FLAIR magnetic resonance.
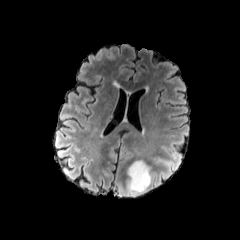
T1-weighted MRI.
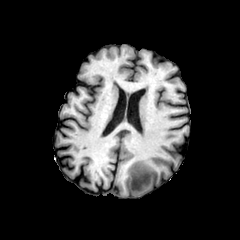
Post-contrast T1-weighted magnetic resonance.
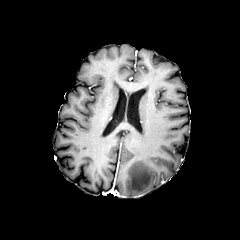
T2-weighted MR.
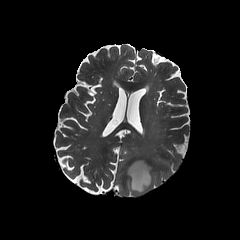
Axial view.
peritumoral edema — left=127, top=160, right=152, bottom=196